Head; Image width 240 mm; Axial view; Slice 46 of 155
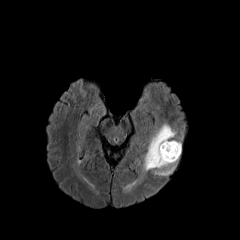
FLAIR MR.
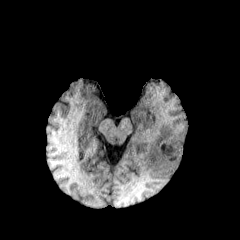
T1-weighted MR image.
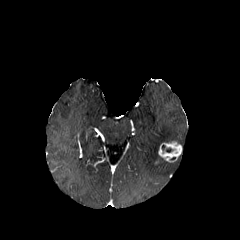
Same slice, post-contrast T1-weighted MRI.
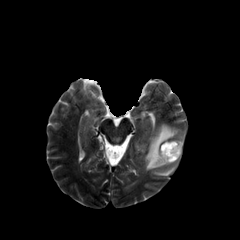
Same slice, T2-weighted magnetic resonance.
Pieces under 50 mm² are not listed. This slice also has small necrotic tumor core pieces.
peritumoral edema: 143 123 177 175 | enhancing tumor: 158 141 182 162